FLAIR MR.
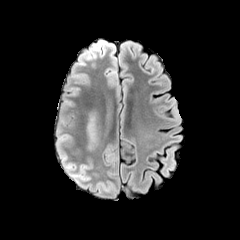
T1-weighted MR image.
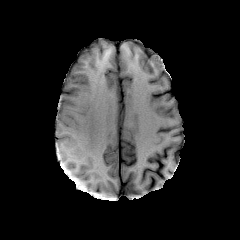
Post-contrast T1-weighted MR.
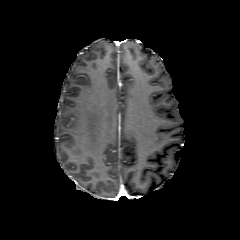
T2-weighted MRI.
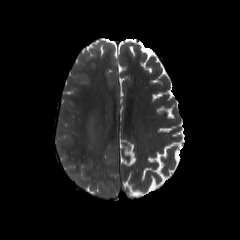
Brain
The peritumoral edema lies within (left=88, top=115, right=95, bottom=148).